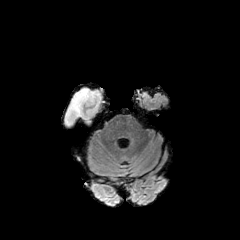
FLAIR MR.
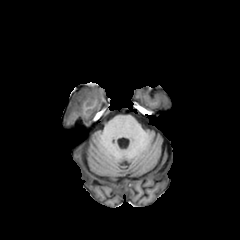
Same slice, T1-weighted MRI.
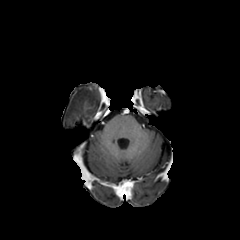
Same slice, post-contrast T1-weighted MR image.
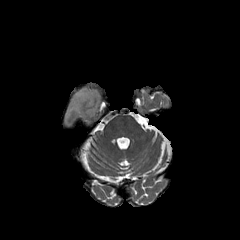
T2-weighted MRI.
Head
The peritumoral edema is at x1=64 y1=88 x2=101 y2=126.